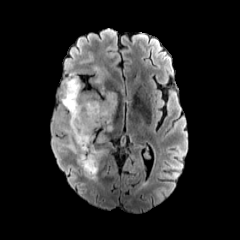
FLAIR magnetic resonance.
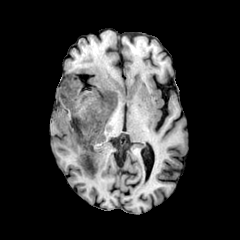
T1-weighted MRI.
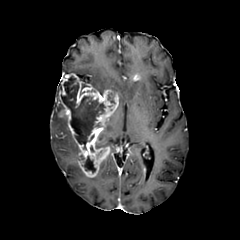
Post-contrast T1-weighted magnetic resonance.
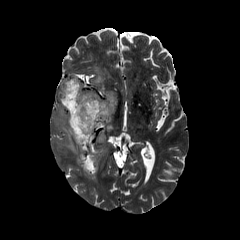
T2-weighted MR.
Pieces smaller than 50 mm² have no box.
Findings:
• enhancing tumor: x1=58 y1=73 x2=118 y2=177
• peritumoral edema: x1=93 y1=66 x2=104 y2=84, x1=53 y1=115 x2=79 y2=153
• necrotic tumor core: x1=82 y1=156 x2=95 y2=172, x1=61 y1=76 x2=104 y2=149